Image covers 240 mm x 240 mm
FLAIR MR image.
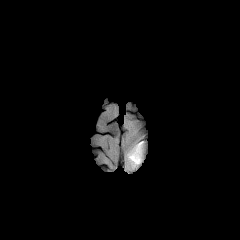
T1-weighted magnetic resonance.
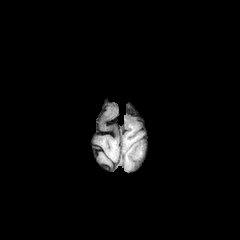
Post-contrast T1-weighted MRI.
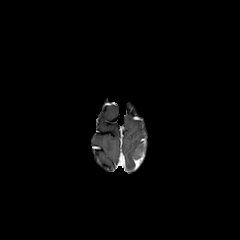
T2-weighted MR.
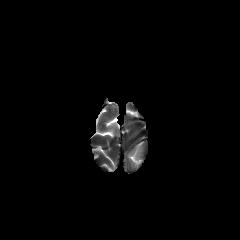
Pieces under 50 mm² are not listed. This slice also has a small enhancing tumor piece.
<segmentation>
  <peritumoral_edema>[128,143,141,161]</peritumoral_edema>
</segmentation>